240x240. Brain. Slice index 63. Image width 240 mm, 1.00 mm slice spacing.
FLAIR magnetic resonance.
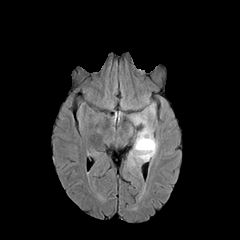
T1-weighted MR.
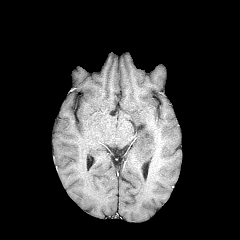
Post-contrast T1-weighted MR.
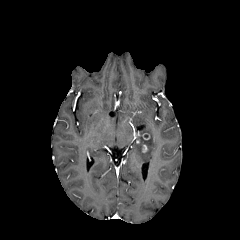
T2-weighted MRI.
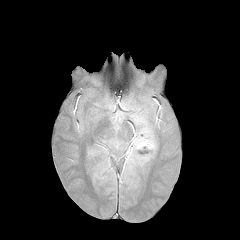
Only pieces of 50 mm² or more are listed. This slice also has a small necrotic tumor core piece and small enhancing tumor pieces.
The peritumoral edema is at bbox(129, 104, 158, 165).